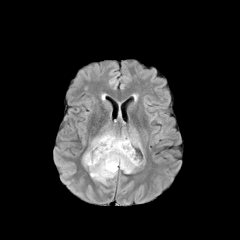
FLAIR magnetic resonance.
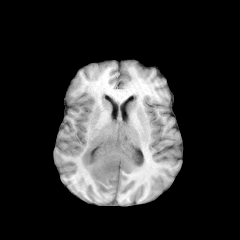
T1-weighted magnetic resonance of the same slice.
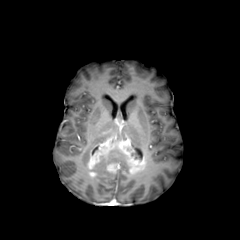
Post-contrast T1-weighted MR.
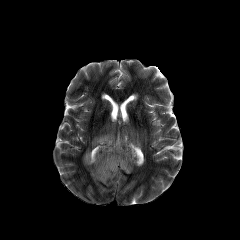
T2-weighted magnetic resonance.
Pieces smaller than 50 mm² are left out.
The 2 largest necrotic tumor core regions are bounded by 131:142:143:159, 110:149:129:172. The largest enhancing tumor region is at 87:135:144:173. 4 peritumoral edema regions are located at 91:131:115:147, 83:151:90:166, 117:132:140:145, 90:156:117:184.